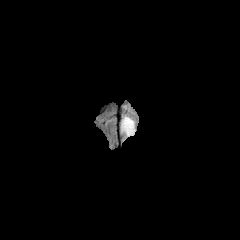
FLAIR MR image.
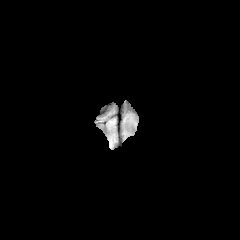
Same slice, T1-weighted MR.
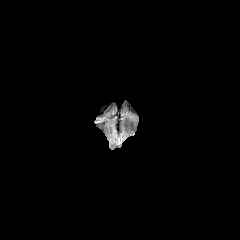
Post-contrast T1-weighted MR image of the same slice.
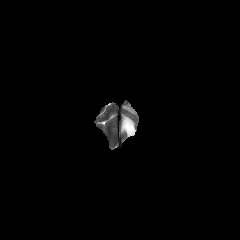
T2-weighted magnetic resonance of the same slice.
Head.
<segmentation>
  <peritumoral_edema><box>121,116,135,136</box></peritumoral_edema>
</segmentation>